Slice 62/155, Brain
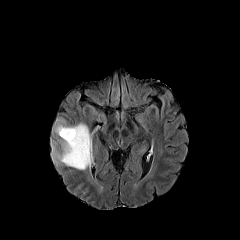
FLAIR MR image.
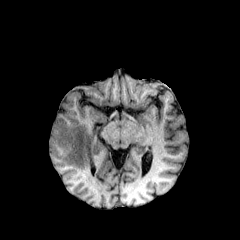
Same slice, T1-weighted magnetic resonance.
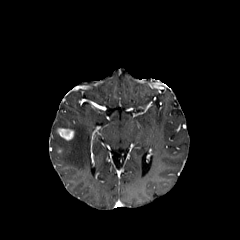
Post-contrast T1-weighted MR.
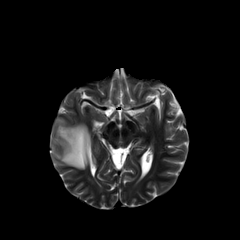
T2-weighted MR of the same slice.
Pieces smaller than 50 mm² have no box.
peritumoral edema at <box>50,117,90,170</box>
enhancing tumor at <box>56,128,74,140</box>